240x240; Slice index 88; Head; Axial view
FLAIR magnetic resonance.
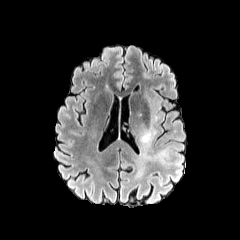
T1-weighted MR image.
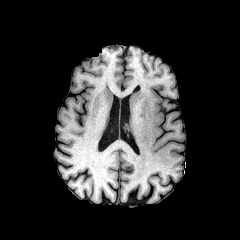
Post-contrast T1-weighted MRI.
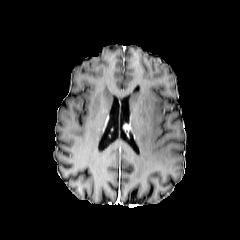
T2-weighted magnetic resonance.
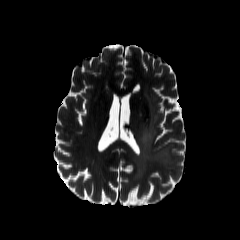
peritumoral edema — 140 93 164 147